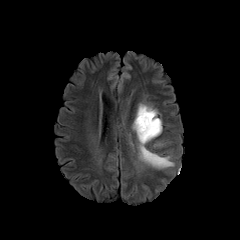
FLAIR magnetic resonance.
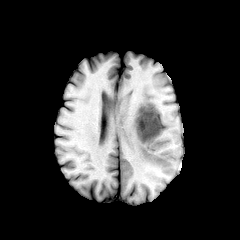
T1-weighted MRI of the same slice.
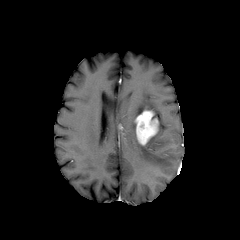
Same slice, post-contrast T1-weighted MR.
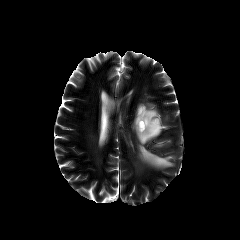
T2-weighted MR.
Head
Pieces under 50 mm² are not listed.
<segmentation>
  <enhancing_tumor>{"x1": 135, "y1": 109, "x2": 158, "y2": 144}</enhancing_tumor>
  <peritumoral_edema>{"x1": 137, "y1": 141, "x2": 174, "y2": 168}, {"x1": 148, "y1": 118, "x2": 162, "y2": 141}, {"x1": 135, "y1": 103, "x2": 157, "y2": 118}</peritumoral_edema>
</segmentation>